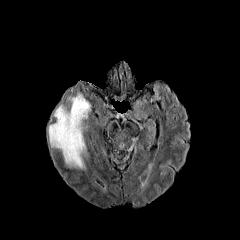
FLAIR MR.
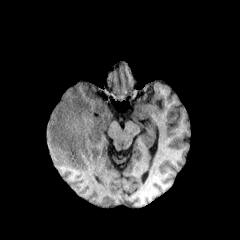
T1-weighted magnetic resonance.
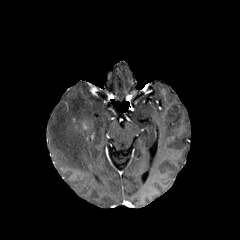
Post-contrast T1-weighted MR image of the same slice.
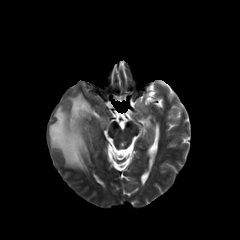
T2-weighted MR image.
Axial view
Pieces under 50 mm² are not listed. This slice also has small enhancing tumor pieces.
Segmented structures:
- peritumoral edema: x1=48 y1=93 x2=90 y2=169